Axial plane. Brain. 240x240.
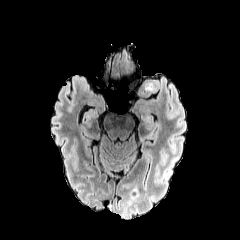
FLAIR magnetic resonance.
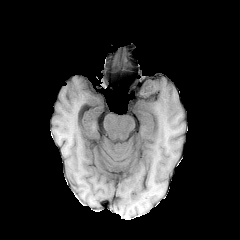
T1-weighted MR image.
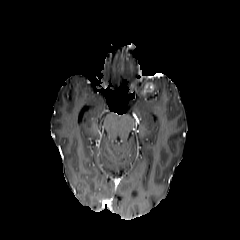
Post-contrast T1-weighted magnetic resonance of the same slice.
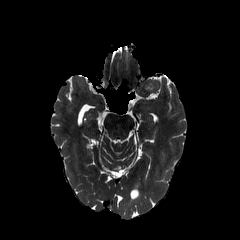
Same slice, T2-weighted MR.
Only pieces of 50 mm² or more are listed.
enhancing tumor — 142,84,153,93